FLAIR magnetic resonance.
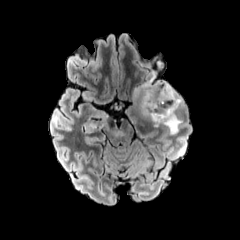
T1-weighted magnetic resonance.
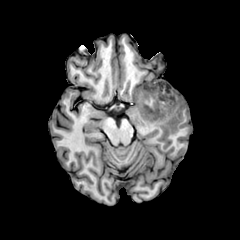
Post-contrast T1-weighted MR image.
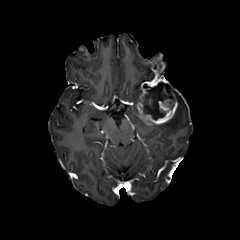
T2-weighted MRI.
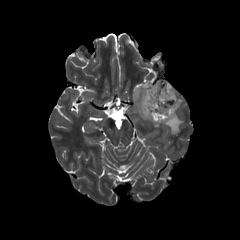
Brain
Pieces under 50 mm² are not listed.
<segmentation>
  <peritumoral_edema>box(160, 88, 184, 134); box(133, 86, 140, 105)</peritumoral_edema>
  <enhancing_tumor>box(136, 76, 177, 124)</enhancing_tumor>
  <necrotic_tumor_core>box(142, 82, 174, 120)</necrotic_tumor_core>
</segmentation>